Slice index 81. 240x240.
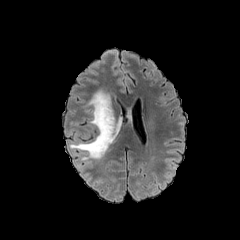
FLAIR MRI.
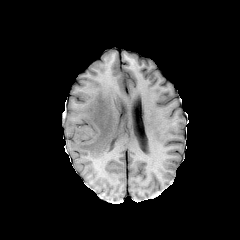
T1-weighted MR image.
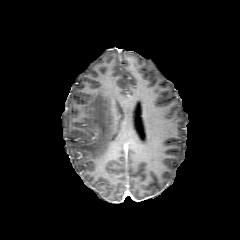
Post-contrast T1-weighted MR.
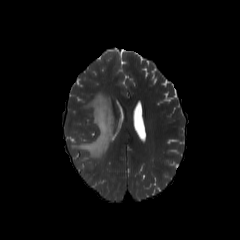
T2-weighted magnetic resonance.
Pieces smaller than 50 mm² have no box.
peritumoral_edema:
  - x1=69 y1=89 x2=120 y2=163